Slice 128/155 | Brain
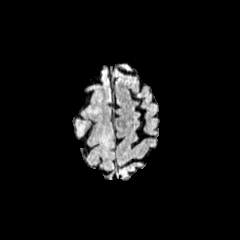
FLAIR MR.
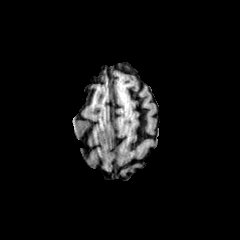
T1-weighted MRI of the same slice.
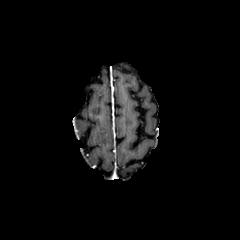
Post-contrast T1-weighted magnetic resonance of the same slice.
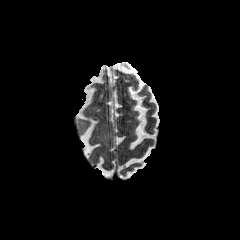
T2-weighted MR.
peritumoral edema — <box>100,134,110,146</box>, <box>76,121,84,135</box>